Image size 240x240; Brain; Slice index 68
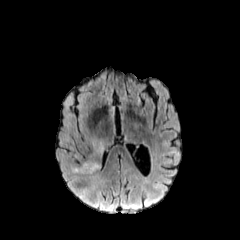
FLAIR MR image.
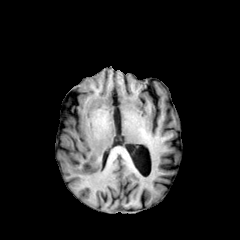
Same slice, T1-weighted MR.
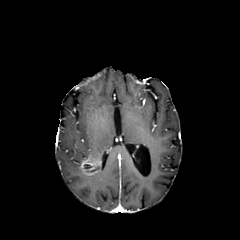
Same slice, post-contrast T1-weighted MRI.
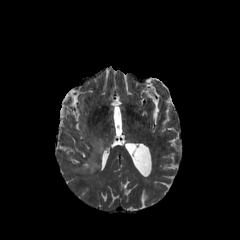
T2-weighted MRI of the same slice.
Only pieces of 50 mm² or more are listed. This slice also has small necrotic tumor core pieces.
peritumoral_edema:
  - box(90, 139, 104, 155)
  - box(72, 166, 83, 173)
enhancing_tumor:
  - box(80, 155, 100, 175)